FLAIR MR image.
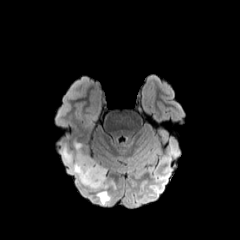
T1-weighted magnetic resonance.
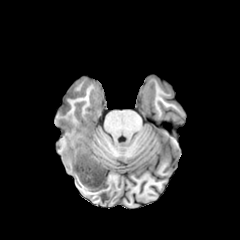
Post-contrast T1-weighted MR image.
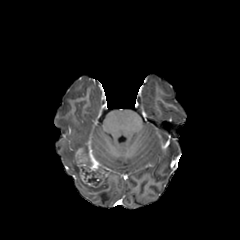
T2-weighted MRI.
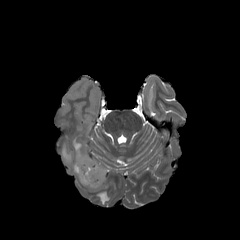
Image size 240x240
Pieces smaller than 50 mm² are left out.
enhancing_tumor:
  - x1=76 y1=149 x2=106 y2=187
peritumoral_edema:
  - x1=60 y1=138 x2=115 y2=204
necrotic_tumor_core:
  - x1=81 y1=166 x2=101 y2=185